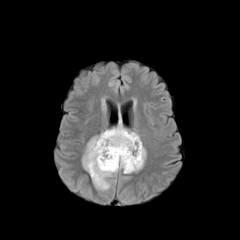
FLAIR MR.
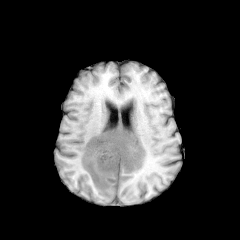
Same slice, T1-weighted MR image.
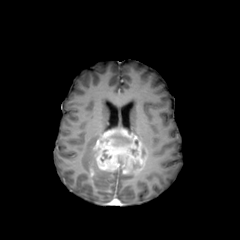
Post-contrast T1-weighted MR of the same slice.
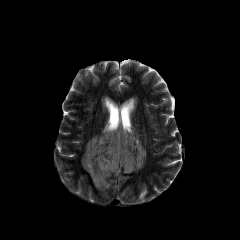
T2-weighted magnetic resonance.
240x240 px
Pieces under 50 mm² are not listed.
The 3 largest peritumoral edema regions are located at (left=82, top=135, right=118, bottom=190), (left=129, top=163, right=143, bottom=173), (left=142, top=144, right=146, bottom=159). The largest enhancing tumor region is located at (left=93, top=128, right=144, bottom=173). The largest necrotic tumor core region is at (left=112, top=134, right=130, bottom=143).